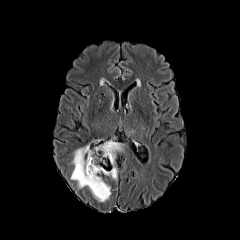
FLAIR MR.
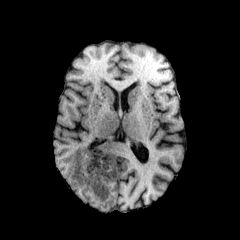
Same slice, T1-weighted MR image.
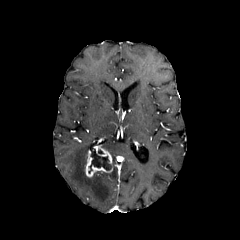
Same slice, post-contrast T1-weighted MR.
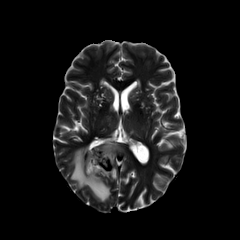
Same slice, T2-weighted MR image.
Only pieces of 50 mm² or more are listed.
{"enhancing_tumor": ["(left=85, top=146, right=113, bottom=177)"], "necrotic_tumor_core": ["(left=88, top=150, right=111, bottom=173)"], "peritumoral_edema": ["(left=70, top=139, right=122, bottom=202)"]}